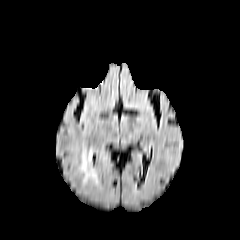
FLAIR MRI.
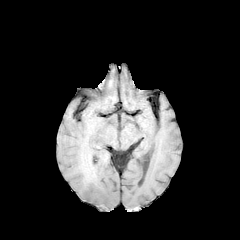
Same slice, T1-weighted MR.
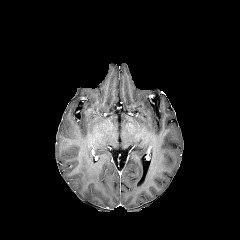
Post-contrast T1-weighted MR image.
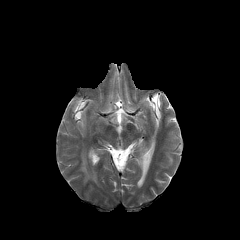
T2-weighted MRI.
240x240. Brain. Axial slice.
peritumoral edema at 81,151,98,181